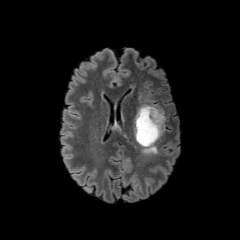
FLAIR MR image.
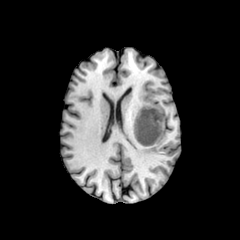
T1-weighted magnetic resonance.
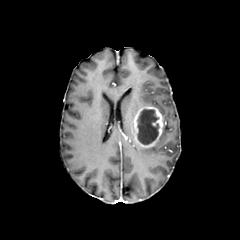
Post-contrast T1-weighted MRI.
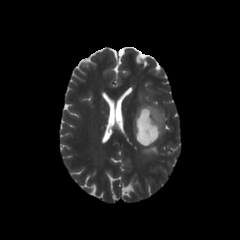
T2-weighted magnetic resonance.
240x240
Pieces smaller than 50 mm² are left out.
{"peritumoral_edema": ["[138, 90, 165, 134]", "[142, 144, 157, 154]"], "enhancing_tumor": ["[133, 105, 163, 147]"], "necrotic_tumor_core": ["[137, 109, 159, 144]"]}